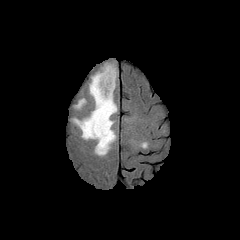
FLAIR MR image.
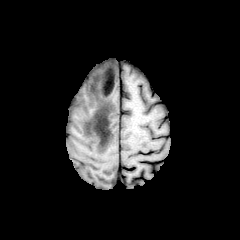
T1-weighted MR.
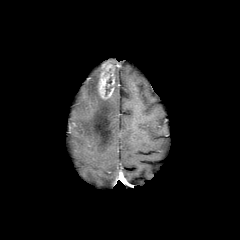
Post-contrast T1-weighted magnetic resonance of the same slice.
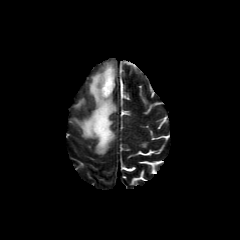
T2-weighted MR.
Image size 240x240. Head.
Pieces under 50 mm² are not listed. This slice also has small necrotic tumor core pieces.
enhancing_tumor:
  - bbox=[97, 61, 115, 99]
peritumoral_edema:
  - bbox=[75, 98, 85, 108]
  - bbox=[73, 69, 117, 155]